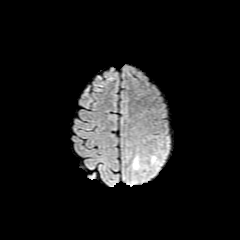
FLAIR MRI.
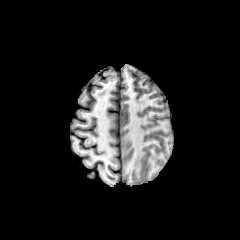
Same slice, T1-weighted MRI.
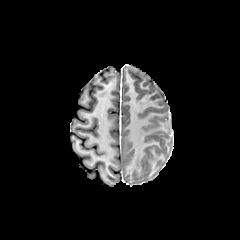
Post-contrast T1-weighted magnetic resonance.
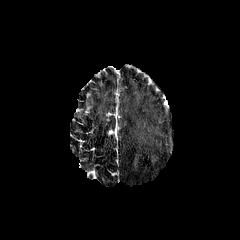
T2-weighted MR.
Brain. Axial plane. 240x240 px.
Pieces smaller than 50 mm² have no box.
The largest peritumoral edema region is bounded by box(133, 155, 139, 169).